FLAIR MR.
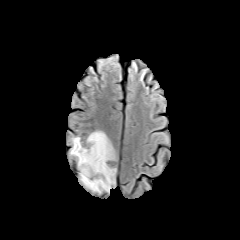
T1-weighted MRI.
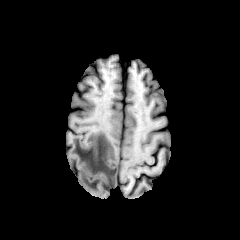
Post-contrast T1-weighted MR.
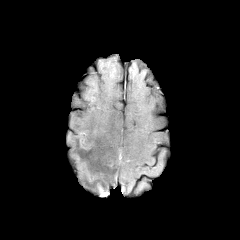
T2-weighted MR image.
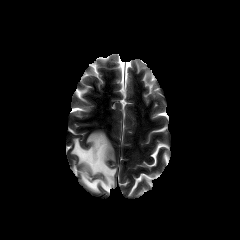
Brain, 240x240 px
Segmented structures:
- peritumoral edema: 71, 131, 115, 192